Image width 240 mm, 1.00 mm slice spacing; Head; Axial plane
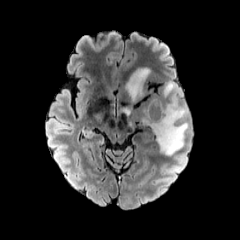
FLAIR MR image.
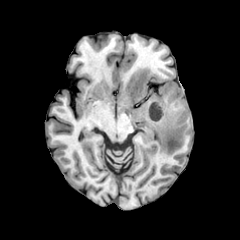
T1-weighted MR image.
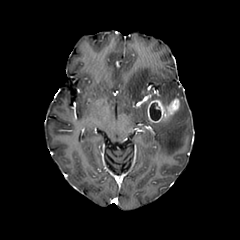
Post-contrast T1-weighted MRI.
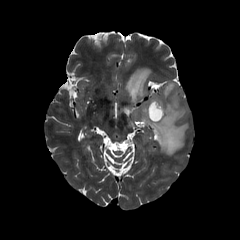
T2-weighted magnetic resonance of the same slice.
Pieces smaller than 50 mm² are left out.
The 3 largest peritumoral edema regions are bounded by rect(163, 82, 182, 100); rect(125, 68, 150, 101); rect(142, 101, 188, 155). The necrotic tumor core lies within rect(149, 102, 160, 120). The largest enhancing tumor region is located at rect(147, 97, 179, 122).